Image size 240x240 | Slice 51 of 155
FLAIR magnetic resonance.
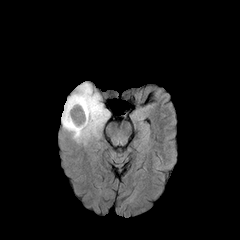
T1-weighted MR.
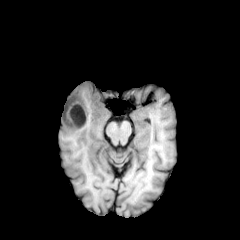
Post-contrast T1-weighted MR image.
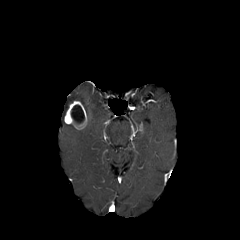
T2-weighted MRI.
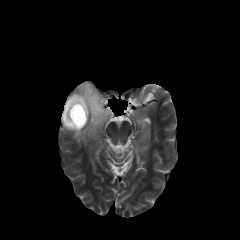
<segmentation>
  <enhancing_tumor>left=64, top=100, right=87, bottom=129</enhancing_tumor>
  <necrotic_tumor_core>left=71, top=105, right=84, bottom=123</necrotic_tumor_core>
  <peritumoral_edema>left=61, top=82, right=109, bottom=144</peritumoral_edema>
</segmentation>